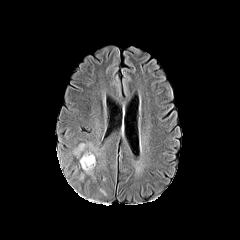
FLAIR MR.
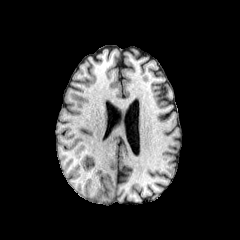
T1-weighted magnetic resonance of the same slice.
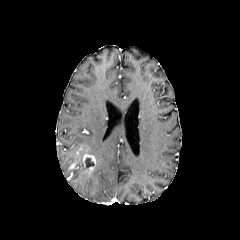
Post-contrast T1-weighted MRI.
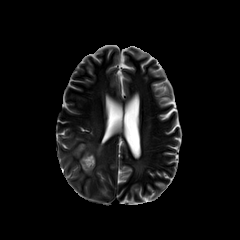
T2-weighted MRI of the same slice.
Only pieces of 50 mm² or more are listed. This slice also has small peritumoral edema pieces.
enhancing tumor at (x1=83, y1=154, x2=95, y2=167)
necrotic tumor core at (x1=85, y1=158, x2=93, y2=168)